FLAIR MRI.
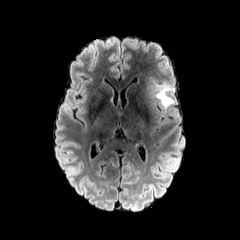
T1-weighted MR image.
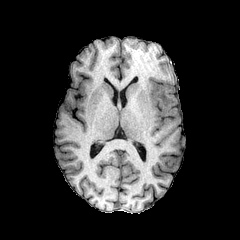
Post-contrast T1-weighted magnetic resonance.
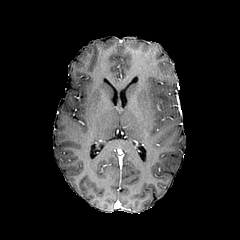
T2-weighted magnetic resonance.
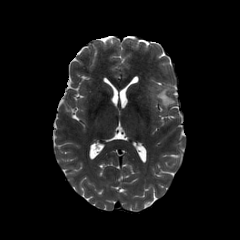
Head
The peritumoral edema is bounded by [154,83,174,112].